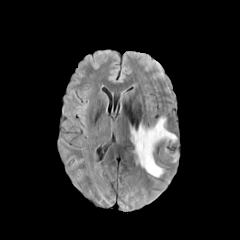
FLAIR MRI.
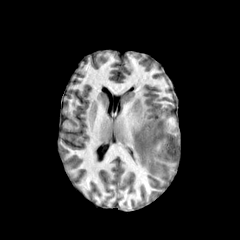
T1-weighted MR image.
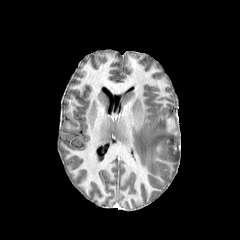
Same slice, post-contrast T1-weighted magnetic resonance.
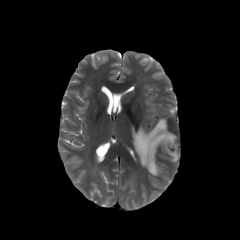
T2-weighted MR image of the same slice.
Brain, Axial view
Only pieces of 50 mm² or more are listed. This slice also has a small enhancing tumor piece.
<segmentation>
  <necrotic_tumor_core>(166,148,178,158)</necrotic_tumor_core>
  <peritumoral_edema>(131,118,177,177)</peritumoral_edema>
</segmentation>